Head | Axial plane | Image covers 240 mm x 240 mm | 240x240 px
FLAIR MR image.
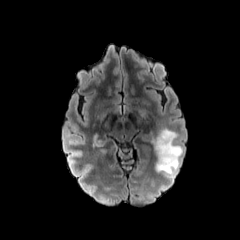
T1-weighted MRI.
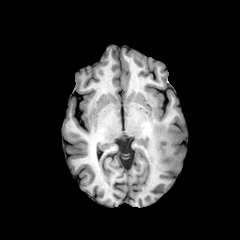
Post-contrast T1-weighted magnetic resonance.
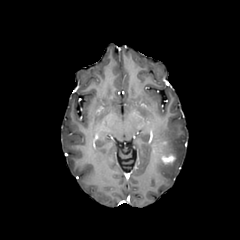
T2-weighted magnetic resonance.
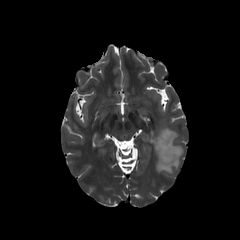
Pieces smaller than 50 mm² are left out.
{"enhancing_tumor": ["<bbox>161, 155, 175, 163</bbox>"], "peritumoral_edema": ["<bbox>152, 128, 182, 178</bbox>"]}